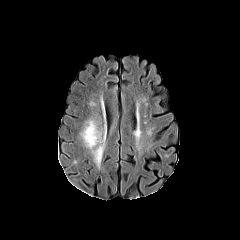
FLAIR MRI.
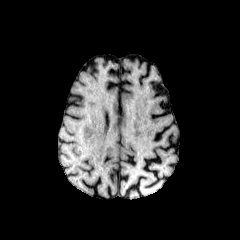
T1-weighted MR of the same slice.
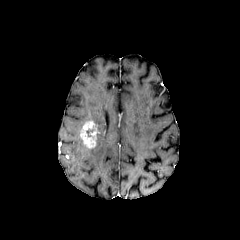
Same slice, post-contrast T1-weighted magnetic resonance.
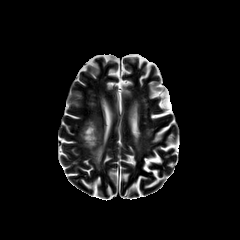
Same slice, T2-weighted MRI.
240x240 | Brain
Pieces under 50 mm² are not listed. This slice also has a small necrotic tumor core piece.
peritumoral edema = x1=90 y1=126 x2=104 y2=167
enhancing tumor = x1=81 y1=121 x2=96 y2=148